FLAIR magnetic resonance.
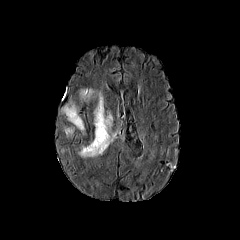
T1-weighted MR image.
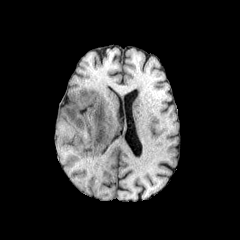
Post-contrast T1-weighted MRI.
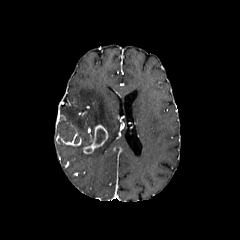
T2-weighted magnetic resonance.
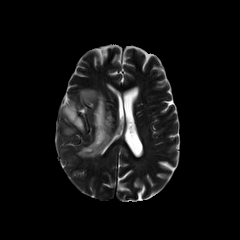
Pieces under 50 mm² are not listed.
The largest necrotic tumor core region is bounded by 96 128 106 144. 3 peritumoral edema regions are bounded by 65 128 73 135, 78 88 115 157, 62 104 84 131. The enhancing tumor is located at 83 124 108 153.